FLAIR MRI.
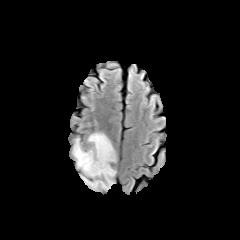
T1-weighted MRI.
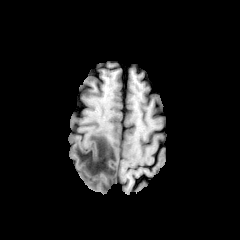
Post-contrast T1-weighted MR.
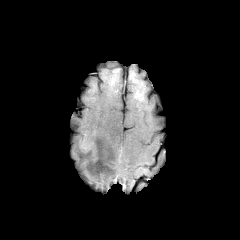
T2-weighted MR image.
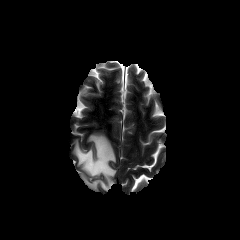
Brain.
peritumoral edema = 74, 133, 115, 188